FLAIR MR image.
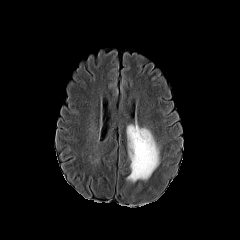
T1-weighted MR image.
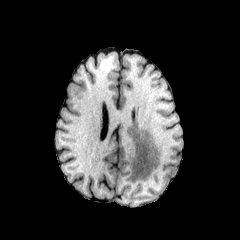
Post-contrast T1-weighted MR.
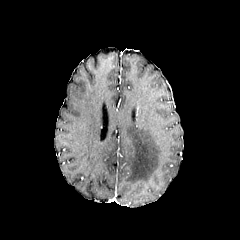
T2-weighted MRI.
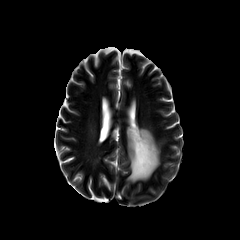
peritumoral edema: (left=126, top=122, right=159, bottom=182)